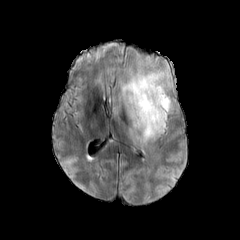
FLAIR MR.
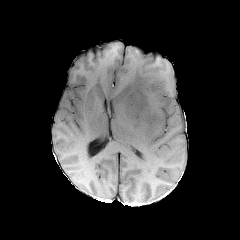
T1-weighted magnetic resonance.
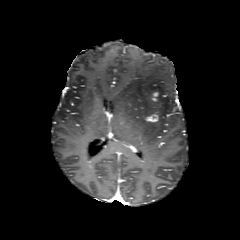
Post-contrast T1-weighted MRI.
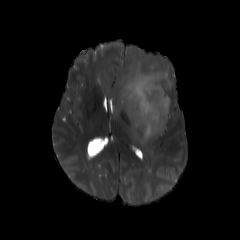
Same slice, T2-weighted MRI.
Axial plane. 240x240 px.
enhancing tumor: bbox=[146, 113, 158, 122]; bbox=[151, 92, 158, 101]
peritumoral edema: bbox=[116, 68, 172, 144]